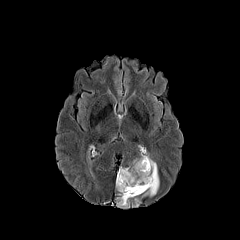
FLAIR MR image.
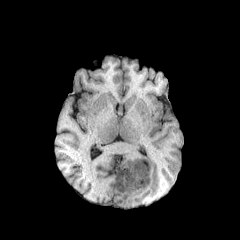
Same slice, T1-weighted MRI.
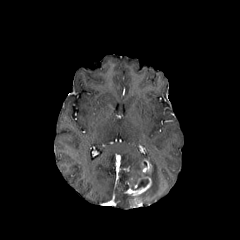
Post-contrast T1-weighted MR image.
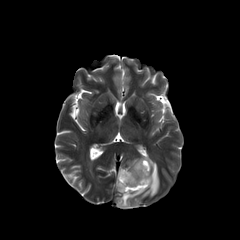
T2-weighted MR.
Head
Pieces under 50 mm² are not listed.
The largest peritumoral edema region is bounded by rect(116, 154, 159, 207). The largest enhancing tumor region is located at rect(124, 159, 152, 206). The largest necrotic tumor core region is bounded by rect(131, 179, 148, 189).